FLAIR magnetic resonance.
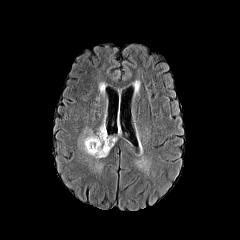
T1-weighted magnetic resonance.
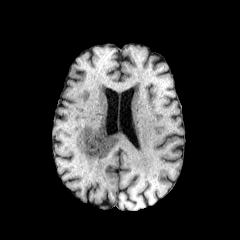
Post-contrast T1-weighted MRI.
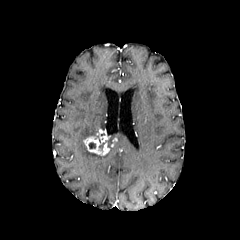
T2-weighted MRI.
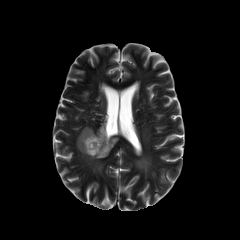
Head
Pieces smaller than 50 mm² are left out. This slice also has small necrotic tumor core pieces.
Findings:
- peritumoral edema: bbox=[107, 132, 118, 148]; bbox=[77, 126, 108, 158]
- enhancing tumor: bbox=[83, 129, 109, 155]